Image size 240x240 | Slice 64/155
FLAIR MR.
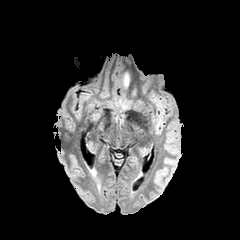
T1-weighted magnetic resonance.
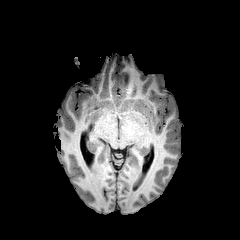
Post-contrast T1-weighted MR image.
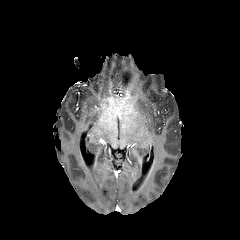
T2-weighted MR.
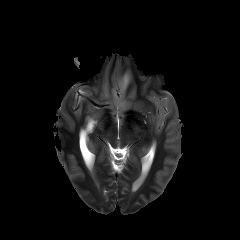
The peritumoral edema is located at region(124, 71, 130, 87).